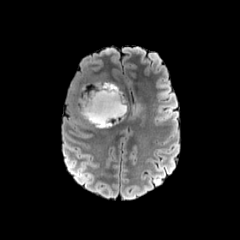
FLAIR MR image.
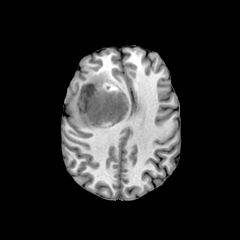
Same slice, T1-weighted MR.
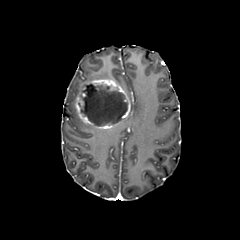
Post-contrast T1-weighted MRI.
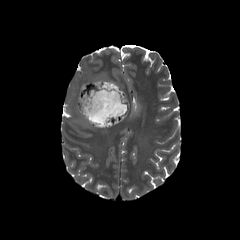
T2-weighted MRI of the same slice.
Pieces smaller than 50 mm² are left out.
Segmented structures:
- necrotic tumor core: 81:84:127:126
- peritumoral edema: 129:103:144:119
- enhancing tumor: 75:79:130:128